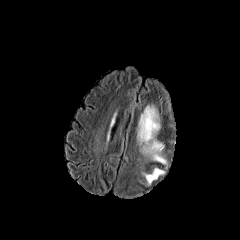
FLAIR MR.
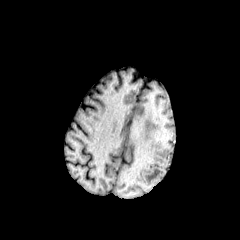
T1-weighted MR.
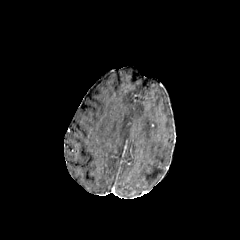
Post-contrast T1-weighted MR.
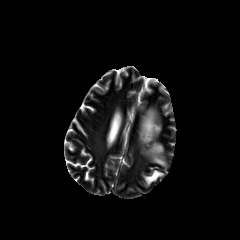
T2-weighted MR.
peritumoral edema: bounding box (left=143, top=168, right=163, bottom=184), (left=139, top=107, right=166, bottom=164)